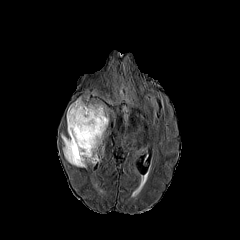
FLAIR magnetic resonance.
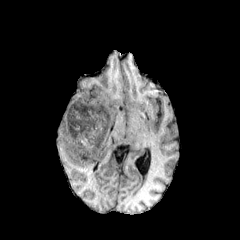
Same slice, T1-weighted MR.
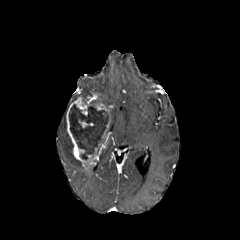
Post-contrast T1-weighted magnetic resonance.
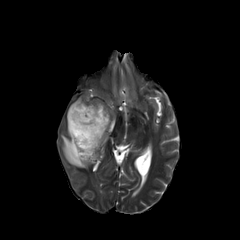
T2-weighted MR image.
Head; 240x240
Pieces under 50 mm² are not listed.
enhancing_tumor:
  - rect(66, 93, 100, 166)
  - rect(78, 120, 93, 127)
  - rect(93, 102, 110, 149)
necrotic_tumor_core:
  - rect(69, 100, 108, 159)
peritumoral_edema:
  - rect(61, 134, 87, 167)